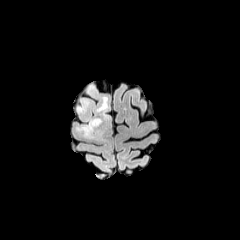
FLAIR MR.
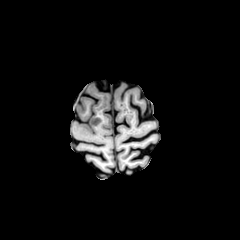
Same slice, T1-weighted magnetic resonance.
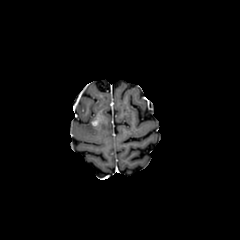
Post-contrast T1-weighted magnetic resonance.
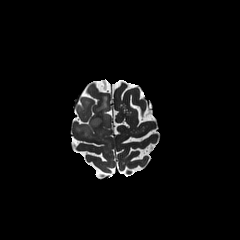
Same slice, T2-weighted MRI.
peritumoral_edema:
  - x1=96, y1=96, x2=109, y2=121
  - x1=79, y1=100, x2=89, y2=111
  - x1=76, y1=119, x2=102, y2=138
enhancing_tumor:
  - x1=91, y1=109, x2=103, y2=127